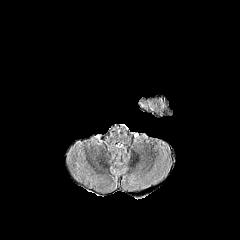
FLAIR MR.
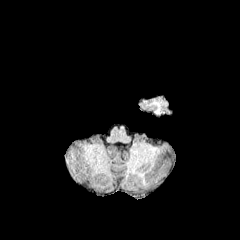
T1-weighted MR.
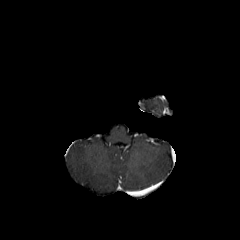
Post-contrast T1-weighted MR image.
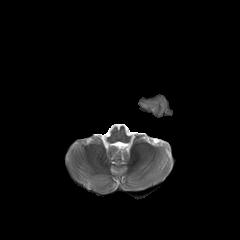
T2-weighted MR image.
{
  "peritumoral_edema": [
    "bbox=[141, 97, 167, 112]"
  ]
}